Slice 98 of 155
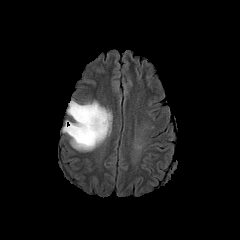
FLAIR MRI.
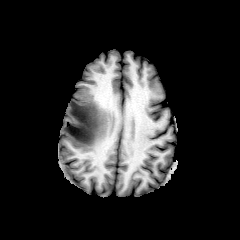
T1-weighted MRI.
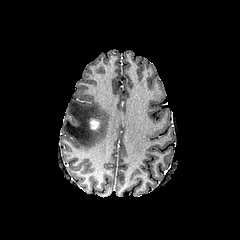
Post-contrast T1-weighted magnetic resonance.
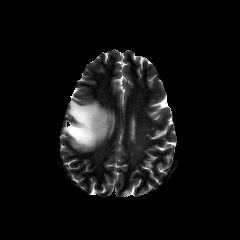
Same slice, T2-weighted MRI.
The enhancing tumor appears at 89:118:99:129. The peritumoral edema is located at 63:101:112:150.